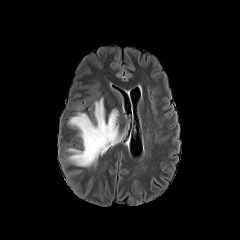
FLAIR MR.
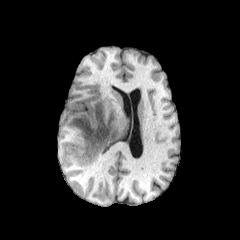
T1-weighted MR of the same slice.
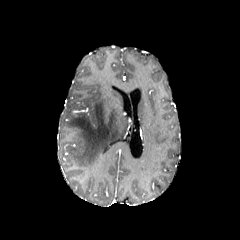
Post-contrast T1-weighted MRI.
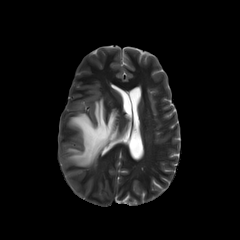
T2-weighted magnetic resonance of the same slice.
Axial plane | Brain
Segmented structures:
• peritumoral edema: (68, 98, 129, 166)